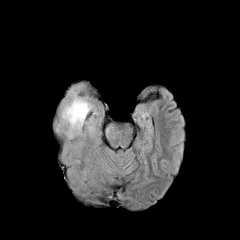
FLAIR MR image.
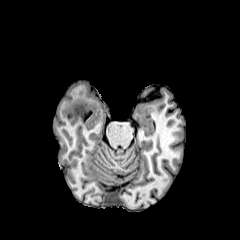
T1-weighted MRI of the same slice.
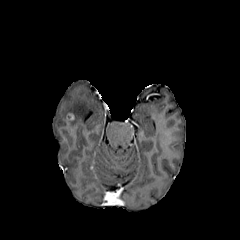
Post-contrast T1-weighted MR.
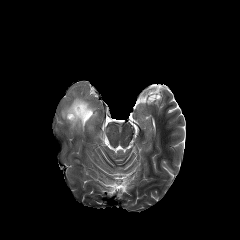
Same slice, T2-weighted MR image.
Segmented structures:
• peritumoral edema: (x1=61, y1=90, x2=98, y2=137)
• enhancing tumor: (x1=67, y1=113, x2=74, y2=120)